Axial slice, Image width 240 mm, Slice index 101, Head
FLAIR MRI.
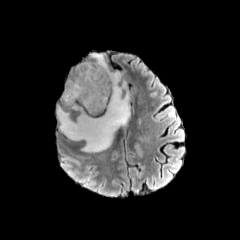
T1-weighted magnetic resonance.
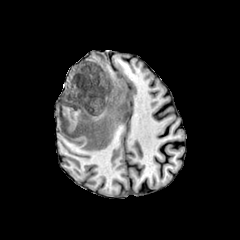
Post-contrast T1-weighted MR image.
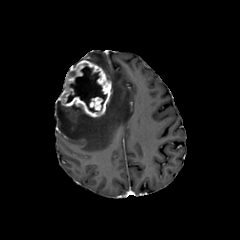
T2-weighted MR image.
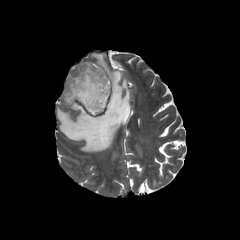
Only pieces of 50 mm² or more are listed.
The enhancing tumor is bounded by (x1=59, y1=60, x2=111, y2=117). The peritumoral edema appears at (x1=57, y1=53, x2=130, y2=152). The largest necrotic tumor core region is at (x1=66, y1=66, x2=106, y2=112).